Axial plane | Image size 240x240 | Brain
FLAIR MR image.
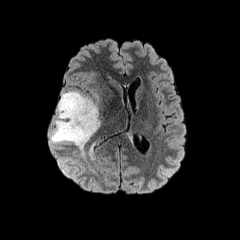
T1-weighted MRI.
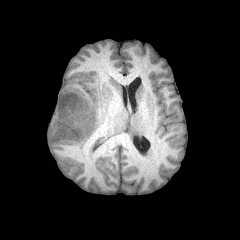
Post-contrast T1-weighted MR image.
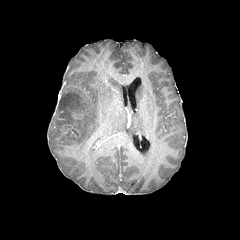
T2-weighted magnetic resonance.
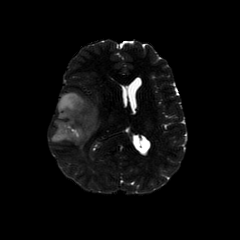
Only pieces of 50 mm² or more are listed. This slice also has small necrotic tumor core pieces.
enhancing tumor: 56:124:80:141 | peritumoral edema: 51:91:99:149